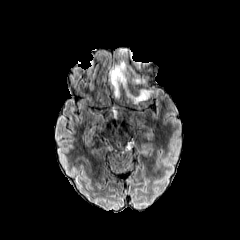
FLAIR MRI.
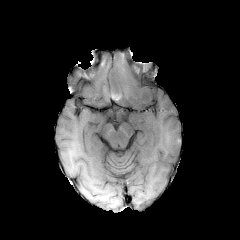
T1-weighted MR image.
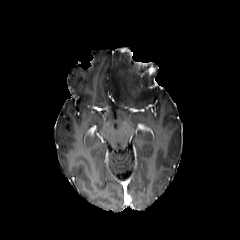
Post-contrast T1-weighted MRI.
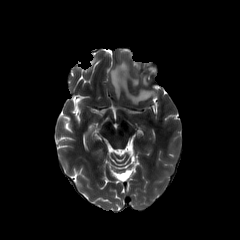
T2-weighted magnetic resonance.
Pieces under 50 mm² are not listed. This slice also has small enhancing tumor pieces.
peritumoral edema = (x1=109, y1=61, x2=152, y2=103)